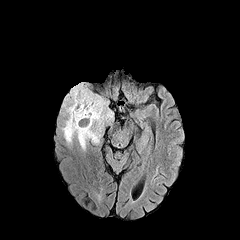
FLAIR MR.
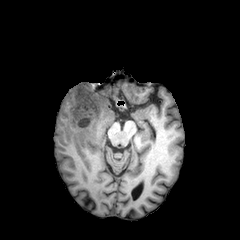
T1-weighted magnetic resonance.
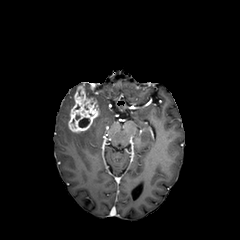
Same slice, post-contrast T1-weighted MR.
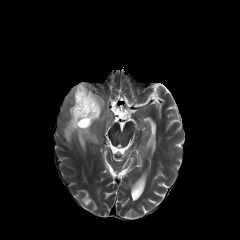
T2-weighted MR image.
Axial plane.
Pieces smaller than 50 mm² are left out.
The largest necrotic tumor core region is at box(78, 118, 89, 127). The peritumoral edema is bounded by box(61, 83, 113, 150). The enhancing tumor is located at box(68, 83, 99, 133).